Image covers 240 mm x 240 mm
FLAIR MR.
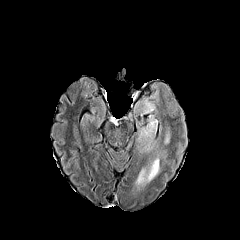
T1-weighted MR image.
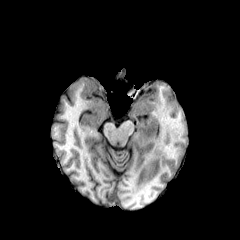
Post-contrast T1-weighted MRI.
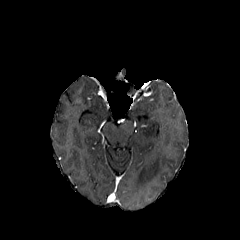
T2-weighted MR.
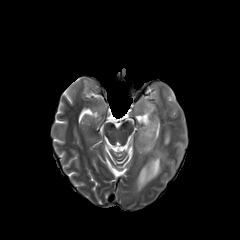
* peritumoral edema: (left=162, top=129, right=170, bottom=145), (left=138, top=101, right=157, bottom=141), (left=134, top=157, right=159, bottom=189)